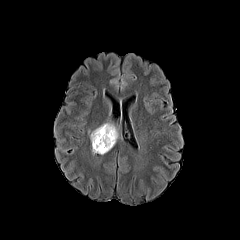
FLAIR MRI.
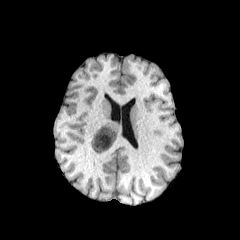
Same slice, T1-weighted MR image.
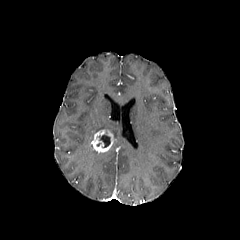
Same slice, post-contrast T1-weighted MR.
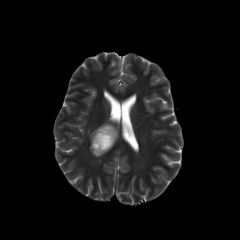
T2-weighted magnetic resonance.
Axial view
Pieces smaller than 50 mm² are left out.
<segmentation>
  <peritumoral_edema>bbox(90, 123, 118, 141)</peritumoral_edema>
  <necrotic_tumor_core>bbox(99, 134, 110, 147)</necrotic_tumor_core>
  <enhancing_tumor>bbox(91, 128, 115, 152)</enhancing_tumor>
</segmentation>